FLAIR MR image.
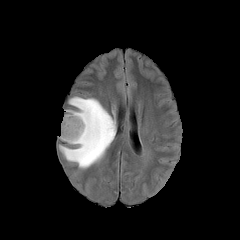
T1-weighted MR.
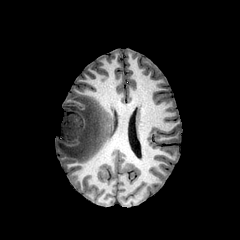
Post-contrast T1-weighted MR.
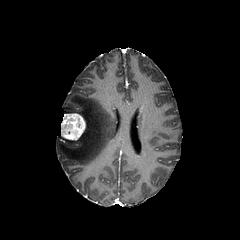
T2-weighted MRI.
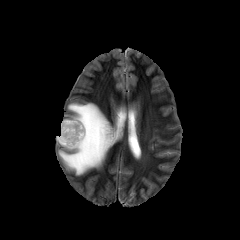
Axial slice | Head
Segmented structures:
- peritumoral edema: 58,96,115,170
- enhancing tumor: 61,113,85,140